Slice 107 of 155, Head
FLAIR MR image.
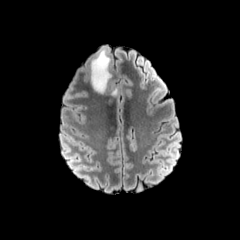
T1-weighted magnetic resonance.
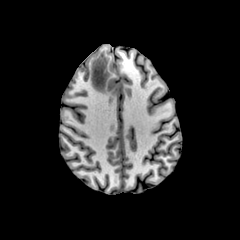
Post-contrast T1-weighted magnetic resonance.
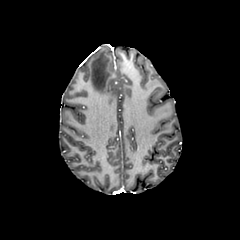
T2-weighted magnetic resonance.
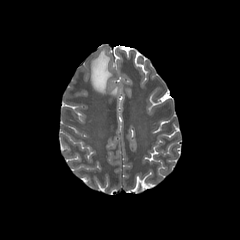
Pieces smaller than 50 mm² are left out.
peritumoral edema: [91,48,111,93]